Brain.
FLAIR magnetic resonance.
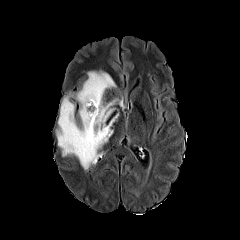
T1-weighted magnetic resonance.
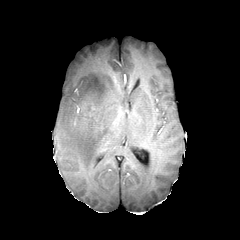
Post-contrast T1-weighted magnetic resonance.
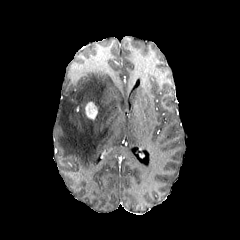
T2-weighted MR image.
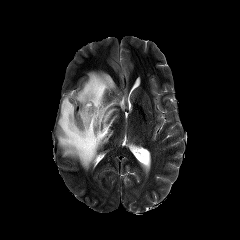
The enhancing tumor is located at {"x1": 85, "y1": 102, "x2": 97, "y2": 119}. The peritumoral edema appears at {"x1": 56, "y1": 71, "x2": 123, "y2": 170}.